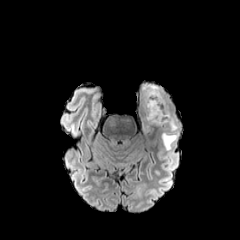
FLAIR MR.
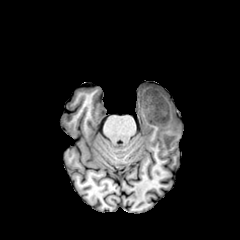
Same slice, T1-weighted MR.
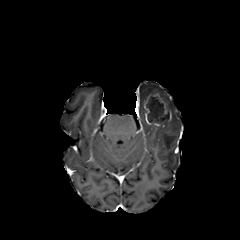
Post-contrast T1-weighted MR.
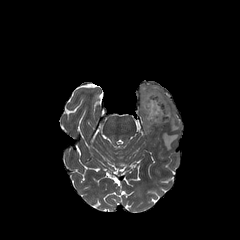
T2-weighted magnetic resonance.
240x240 px
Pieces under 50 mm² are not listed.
The 2 largest peritumoral edema regions appear at (x1=162, y1=133, x2=177, y2=150), (x1=140, y1=83, x2=178, y2=132). The enhancing tumor appears at (x1=142, y1=89, x2=172, y2=125). The necrotic tumor core appears at (x1=146, y1=96, x2=168, y2=123).